FLAIR MR image.
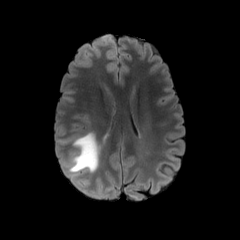
T1-weighted MR image.
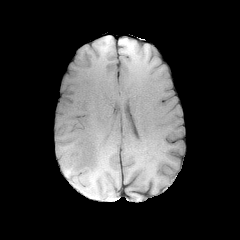
Post-contrast T1-weighted MR image.
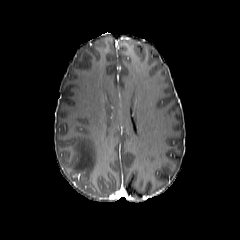
T2-weighted MR image.
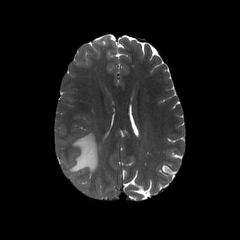
Brain. 240x240.
{
  "peritumoral_edema": [
    "x1=67, y1=132, x2=100, y2=174"
  ]
}